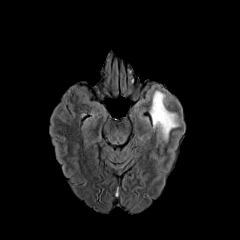
FLAIR MRI.
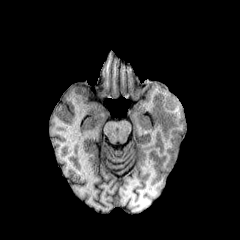
Same slice, T1-weighted MR.
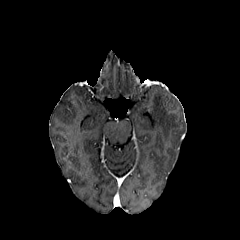
Post-contrast T1-weighted magnetic resonance.
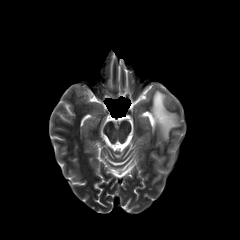
Same slice, T2-weighted magnetic resonance.
Axial slice
peritumoral edema: bounding box 150, 90, 179, 141